Head; Axial slice
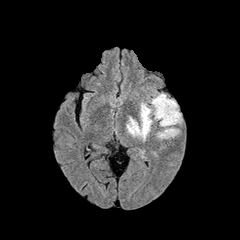
FLAIR MR image.
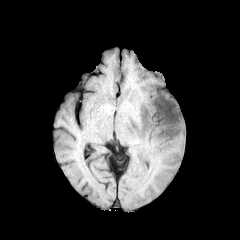
T1-weighted MR image.
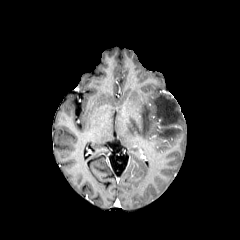
Post-contrast T1-weighted MR image.
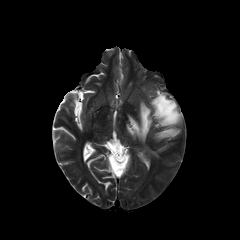
T2-weighted MRI of the same slice.
3 peritumoral edema regions are located at box(151, 93, 181, 126); box(157, 128, 179, 138); box(126, 102, 152, 141).